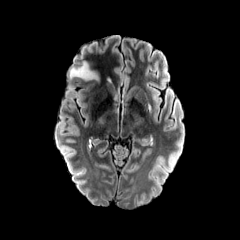
FLAIR magnetic resonance.
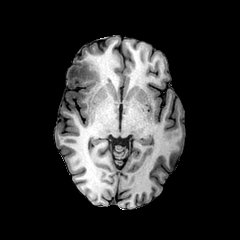
Same slice, T1-weighted MRI.
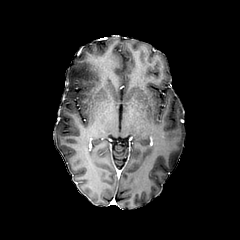
Post-contrast T1-weighted MR.
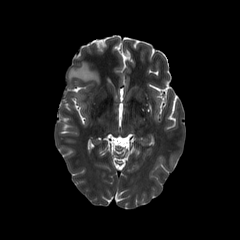
T2-weighted MR image.
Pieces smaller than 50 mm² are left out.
The largest peritumoral edema region is at (69, 62, 98, 80).